FLAIR MRI.
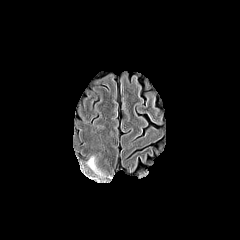
T1-weighted MRI.
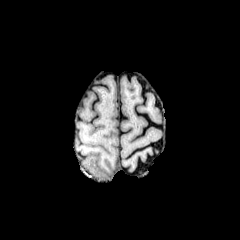
Post-contrast T1-weighted magnetic resonance.
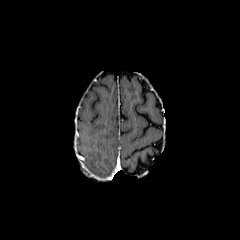
T2-weighted MR.
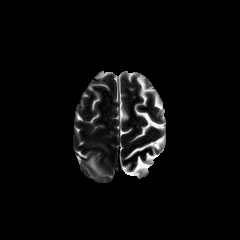
Axial view, 240x240, Brain
Annotated regions:
* peritumoral edema: {"x1": 87, "y1": 157, "x2": 104, "y2": 176}